FLAIR MR.
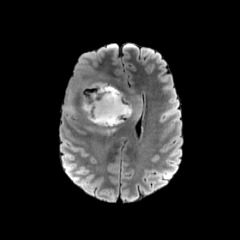
T1-weighted magnetic resonance.
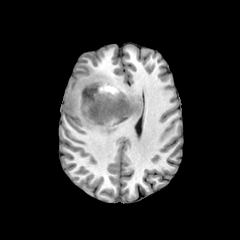
Post-contrast T1-weighted MR.
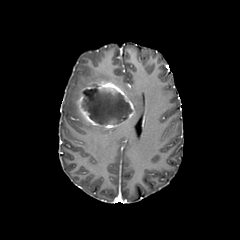
T2-weighted MRI.
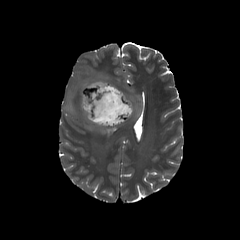
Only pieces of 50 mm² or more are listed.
necrotic tumor core — [82, 87, 132, 125]
peritumoral edema — [130, 94, 144, 120], [86, 126, 115, 135], [65, 104, 74, 113]
enhancing tumor — [75, 81, 139, 128]